FLAIR MR image.
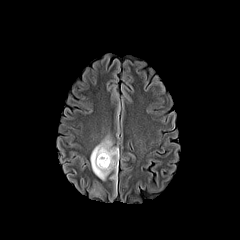
T1-weighted MR image.
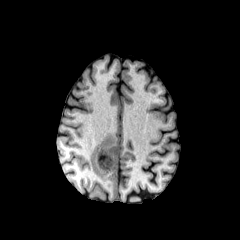
Post-contrast T1-weighted MR.
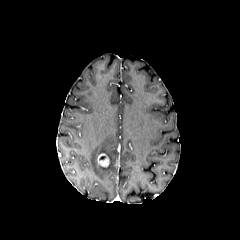
T2-weighted magnetic resonance.
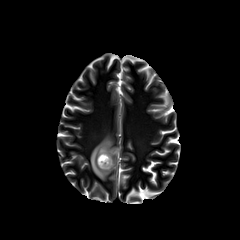
Axial view
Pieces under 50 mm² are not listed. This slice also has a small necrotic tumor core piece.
peritumoral edema — <bbox>90, 135, 117, 180</bbox>
enhancing tumor — <bbox>97, 153, 109, 167</bbox>